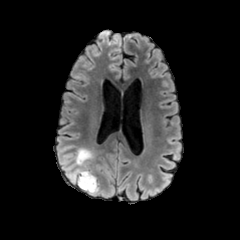
FLAIR MR.
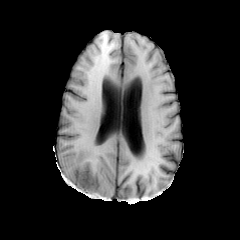
T1-weighted MRI of the same slice.
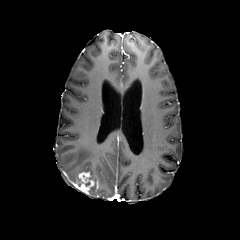
Post-contrast T1-weighted MRI.
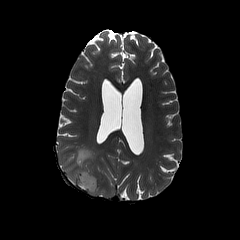
T2-weighted magnetic resonance.
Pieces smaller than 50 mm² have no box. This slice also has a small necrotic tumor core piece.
<segmentation>
  <peritumoral_edema>l=64, t=148, r=96, b=185; l=90, t=186, r=98, b=194</peritumoral_edema>
  <enhancing_tumor>l=77, t=172, r=98, b=193</enhancing_tumor>
</segmentation>